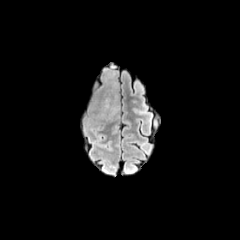
FLAIR MR image.
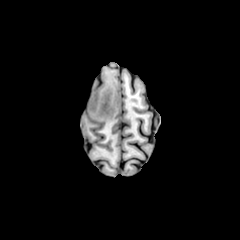
T1-weighted MRI.
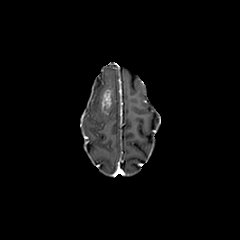
Post-contrast T1-weighted MR.
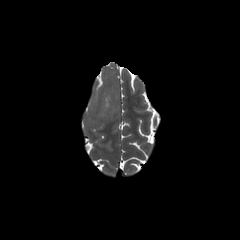
T2-weighted MR.
Head, Axial slice
enhancing tumor = 101:88:114:114